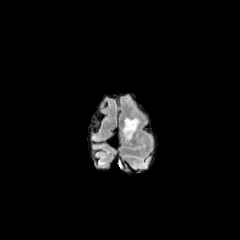
FLAIR MR.
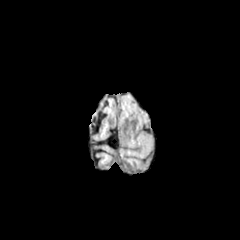
T1-weighted MR of the same slice.
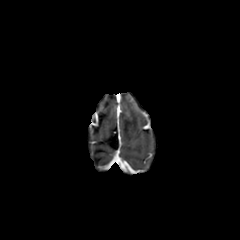
Post-contrast T1-weighted MR.
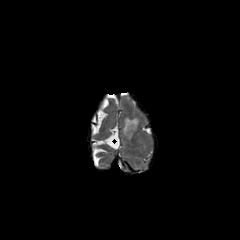
T2-weighted MRI.
Head; 240x240 px; Axial view
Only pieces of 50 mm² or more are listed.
peritumoral edema: left=122, top=115, right=141, bottom=140